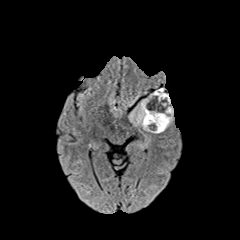
FLAIR MR.
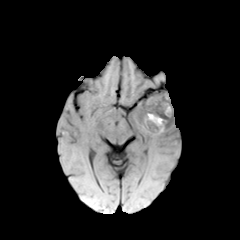
T1-weighted MRI.
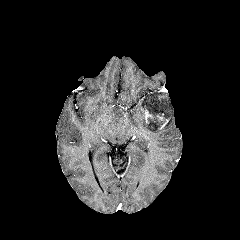
Post-contrast T1-weighted MRI of the same slice.
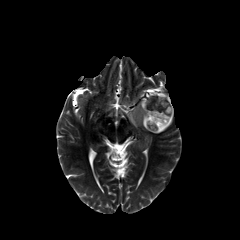
Same slice, T2-weighted MRI.
240x240. Brain.
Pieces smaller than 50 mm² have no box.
• peritumoral edema: bbox(129, 91, 173, 133)
• enhancing tumor: bbox(143, 109, 152, 123)
• necrotic tumor core: bbox(144, 92, 168, 129)